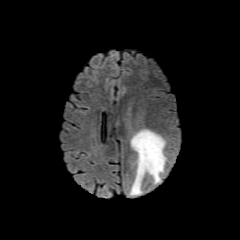
FLAIR MR.
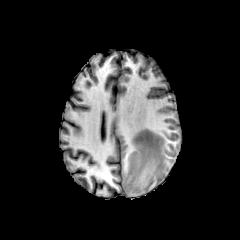
T1-weighted MR image.
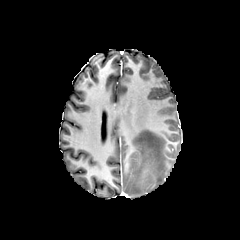
Post-contrast T1-weighted MR.
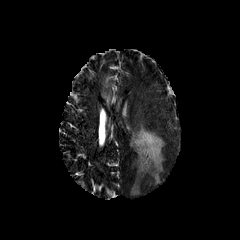
T2-weighted MR image.
Axial slice. 240x240 px.
The peritumoral edema appears at bbox(129, 129, 166, 195).